FLAIR MR.
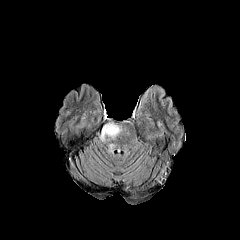
T1-weighted magnetic resonance.
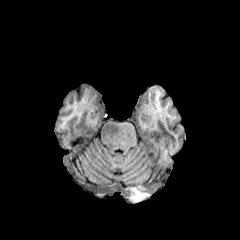
Post-contrast T1-weighted MR.
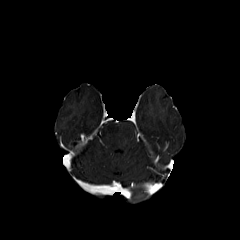
T2-weighted magnetic resonance.
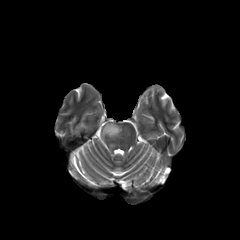
Axial plane
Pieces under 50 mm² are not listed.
Annotated regions:
- peritumoral edema: region(101, 122, 121, 139)